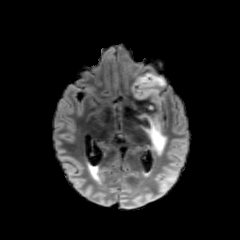
FLAIR MR image.
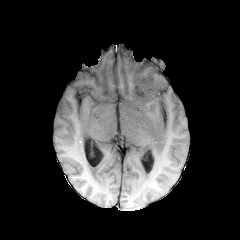
Same slice, T1-weighted MR image.
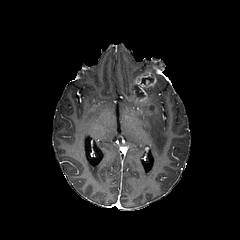
Post-contrast T1-weighted MR.
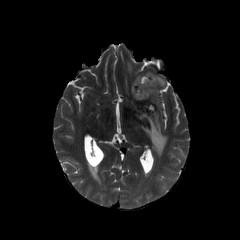
T2-weighted MR image of the same slice.
Axial slice
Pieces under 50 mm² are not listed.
necrotic tumor core: bounding box [x1=136, y1=84, x2=145, y2=98], [x1=141, y1=77, x2=154, y2=84]
peritumoral edema: bounding box [x1=142, y1=115, x2=166, y2=154], [x1=148, y1=73, x2=164, y2=98]
enhancing tumor: bounding box [x1=133, y1=72, x2=157, y2=101]